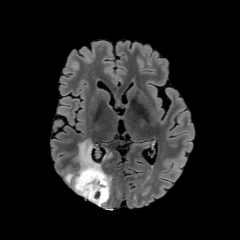
FLAIR MR image.
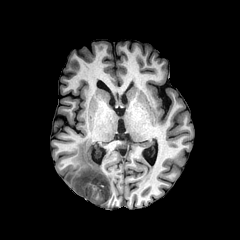
Same slice, T1-weighted MRI.
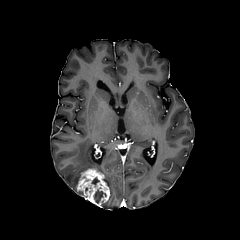
Same slice, post-contrast T1-weighted MR.
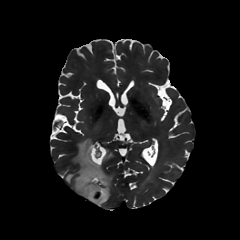
T2-weighted magnetic resonance.
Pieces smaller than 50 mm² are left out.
The largest peritumoral edema region is at bbox=[64, 139, 112, 195]. The largest necrotic tumor core region is located at bbox=[94, 189, 106, 203]. The enhancing tumor appears at bbox=[76, 167, 109, 206].